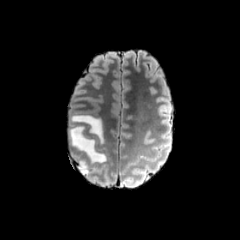
FLAIR MRI.
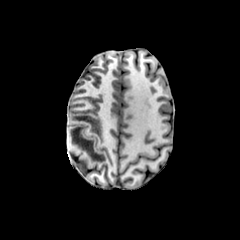
T1-weighted MR of the same slice.
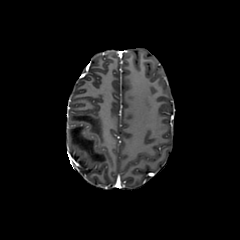
Same slice, post-contrast T1-weighted MRI.
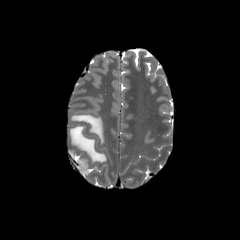
Same slice, T2-weighted magnetic resonance.
Brain
3 peritumoral edema regions are located at l=70, t=114, r=103, b=143; l=79, t=160, r=88, b=174; l=69, t=125, r=106, b=163.